240x240 px. Brain. Slice 111 of 155.
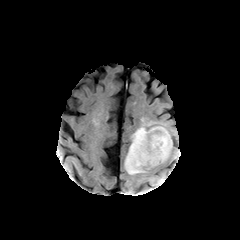
FLAIR magnetic resonance.
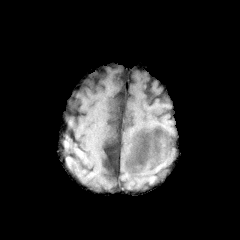
T1-weighted MRI.
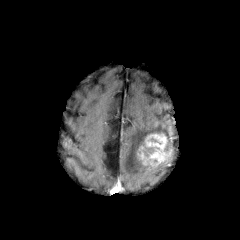
Post-contrast T1-weighted MRI of the same slice.
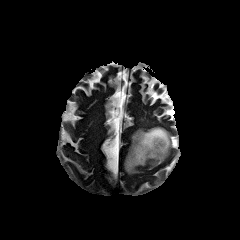
Same slice, T2-weighted MR.
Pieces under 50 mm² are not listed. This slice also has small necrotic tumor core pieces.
The largest peritumoral edema region is at x1=124, y1=126, x2=172, y2=174. The enhancing tumor lies within x1=137, y1=133, x2=170, y2=166.